Slice 41 of 155; Image covers 240 mm x 240 mm
FLAIR MR image.
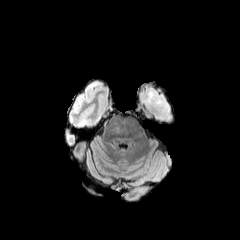
T1-weighted MR.
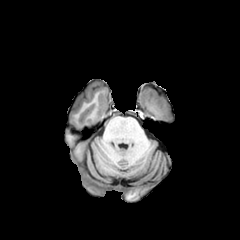
Post-contrast T1-weighted MR image.
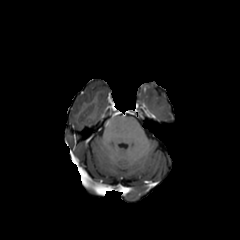
T2-weighted magnetic resonance.
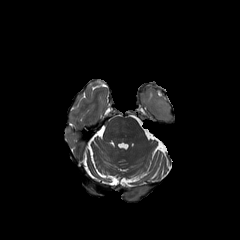
The peritumoral edema lies within (left=140, top=87, right=171, bottom=121).